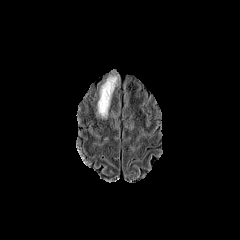
FLAIR MRI.
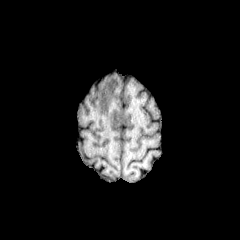
T1-weighted MRI of the same slice.
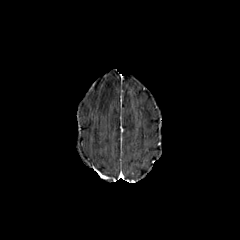
Same slice, post-contrast T1-weighted MR image.
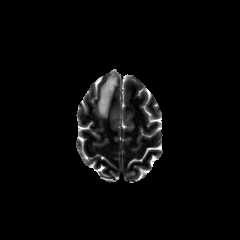
T2-weighted MR image.
Axial slice | Head
The peritumoral edema lies within (98,76,116,117).